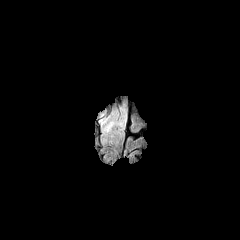
FLAIR MRI.
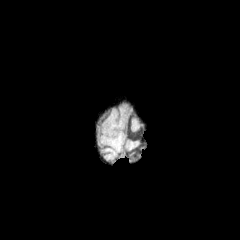
T1-weighted MR image of the same slice.
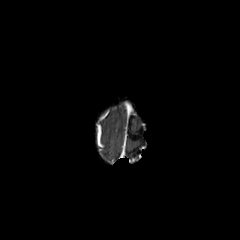
Post-contrast T1-weighted magnetic resonance.
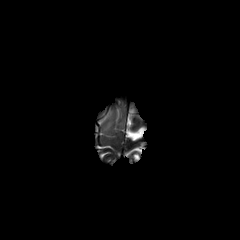
T2-weighted MRI of the same slice.
Head
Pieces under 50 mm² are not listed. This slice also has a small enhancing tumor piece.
peritumoral edema: 100 112 125 135